Axial slice. Brain.
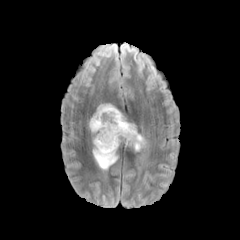
FLAIR magnetic resonance.
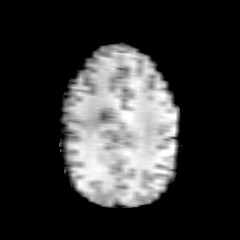
T1-weighted MR.
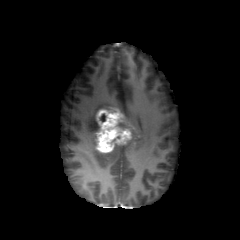
Same slice, post-contrast T1-weighted magnetic resonance.
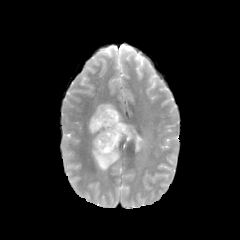
T2-weighted magnetic resonance of the same slice.
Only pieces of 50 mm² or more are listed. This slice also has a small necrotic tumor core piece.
peritumoral_edema:
  - l=93, t=136, r=119, b=170
  - l=89, t=103, r=115, b=133
  - l=120, t=123, r=146, b=151
enhancing_tumor:
  - l=96, t=107, r=131, b=153